Image size 240x240; Head; Axial view; Image width 240 mm, 1.00 mm slice spacing
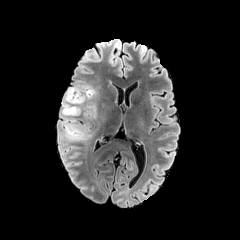
FLAIR magnetic resonance.
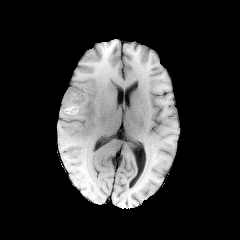
Same slice, T1-weighted MRI.
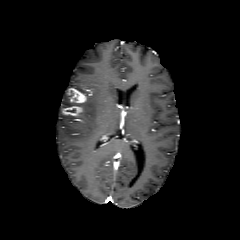
Post-contrast T1-weighted MR.
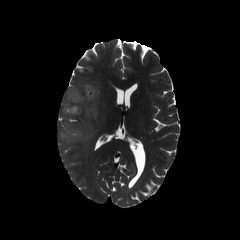
Same slice, T2-weighted MR image.
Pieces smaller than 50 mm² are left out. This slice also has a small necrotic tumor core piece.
enhancing tumor — x1=62 y1=88 x2=86 y2=115
peritumoral edema — x1=83 y1=105 x2=96 y2=117, x1=60 y1=113 x2=91 y2=142, x1=84 y1=87 x2=94 y2=100, x1=62 y1=89 x2=72 y2=110